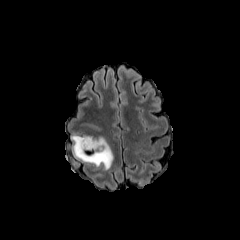
FLAIR magnetic resonance.
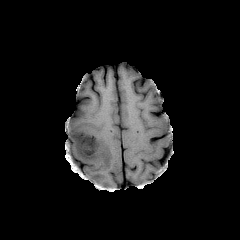
T1-weighted magnetic resonance of the same slice.
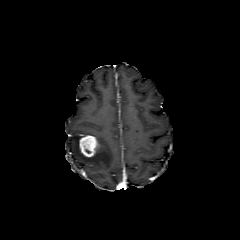
Post-contrast T1-weighted MRI of the same slice.
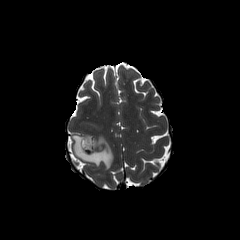
Same slice, T2-weighted MRI.
240x240. Head.
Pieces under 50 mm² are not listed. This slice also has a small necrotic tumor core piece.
enhancing tumor: 79, 135, 99, 157 | peritumoral edema: 71, 133, 113, 169